Image size 240x240, Slice 110/155
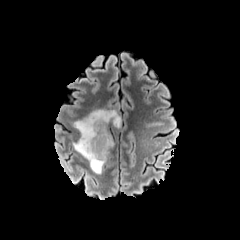
FLAIR magnetic resonance.
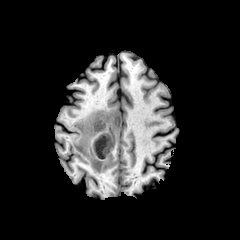
T1-weighted MRI.
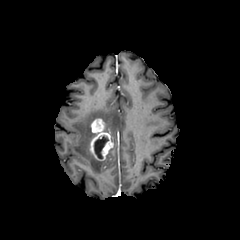
Post-contrast T1-weighted MR image.
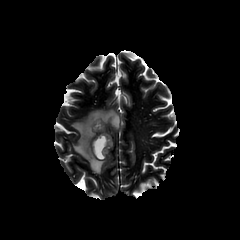
T2-weighted magnetic resonance.
The necrotic tumor core is located at (94, 136, 108, 159). The enhancing tumor is located at (89, 118, 113, 160). The peritumoral edema is at (73, 109, 121, 174).